FLAIR MRI.
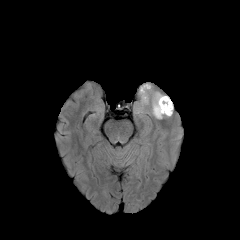
T1-weighted MR image.
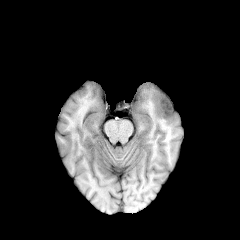
Post-contrast T1-weighted MRI.
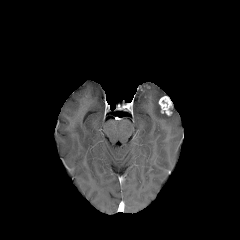
T2-weighted MRI.
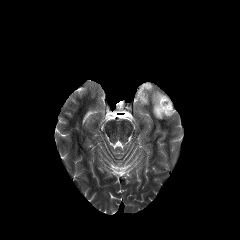
240x240 px, Head
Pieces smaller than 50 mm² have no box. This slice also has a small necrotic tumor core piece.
peritumoral edema: <bbox>134, 82, 172, 119</bbox> | enhancing tumor: <bbox>158, 96, 173, 115</bbox>